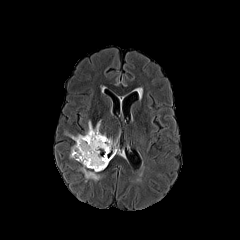
FLAIR MR.
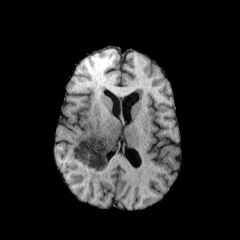
T1-weighted MR image of the same slice.
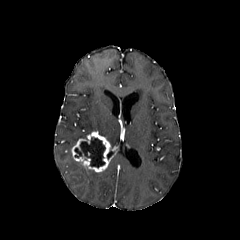
Post-contrast T1-weighted MRI of the same slice.
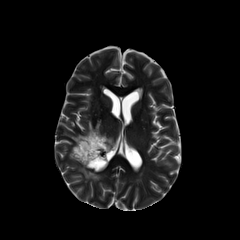
Same slice, T2-weighted MR image.
Brain. Axial view.
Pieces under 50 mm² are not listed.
necrotic tumor core = [x1=74, y1=137, x2=105, y2=167]
peritumoral edema = [x1=65, y1=121, x2=106, y2=143], [x1=107, y1=138, x2=115, y2=147], [x1=79, y1=164, x2=100, y2=181]
enhancing tumor = [x1=71, y1=131, x2=116, y2=172]